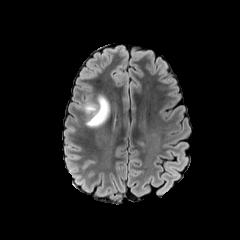
FLAIR MR image.
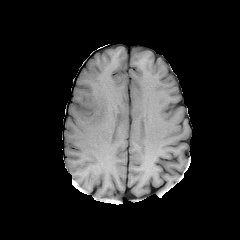
T1-weighted MRI.
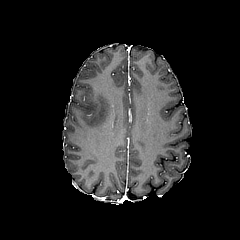
Same slice, post-contrast T1-weighted MR image.
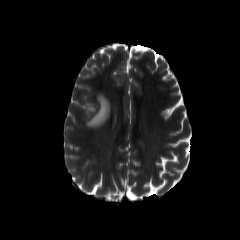
T2-weighted magnetic resonance of the same slice.
Brain, Image size 240x240
Findings:
* peritumoral edema: (83, 94, 110, 127)